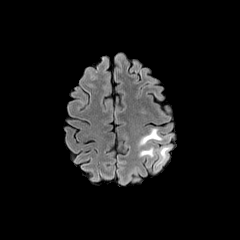
FLAIR MR image.
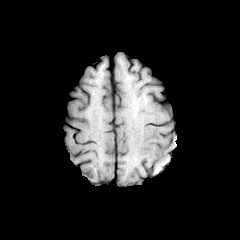
T1-weighted magnetic resonance.
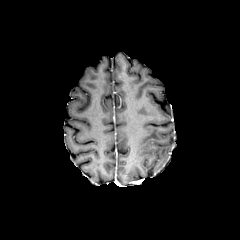
Post-contrast T1-weighted MR image.
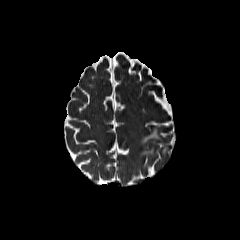
T2-weighted MR image.
3 peritumoral edema regions appear at 158 146 169 164, 139 128 162 146, 139 147 154 156.